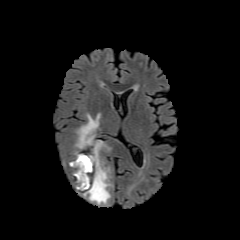
FLAIR magnetic resonance.
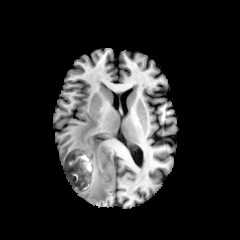
T1-weighted magnetic resonance.
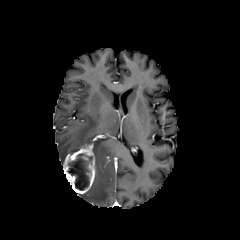
Same slice, post-contrast T1-weighted MRI.
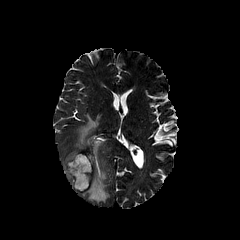
T2-weighted MR image.
Brain | 240x240 | Axial view
peritumoral edema: bounding box (74, 113, 110, 204)
necrotic tumor core: bounding box (67, 153, 92, 190)
enhancing tumor: bounding box (63, 142, 95, 193)